FLAIR magnetic resonance.
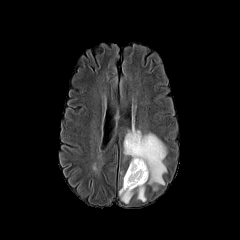
T1-weighted MR.
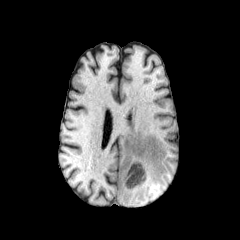
Post-contrast T1-weighted magnetic resonance.
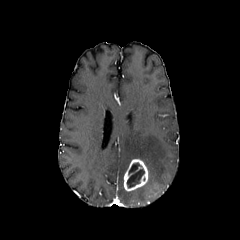
T2-weighted magnetic resonance.
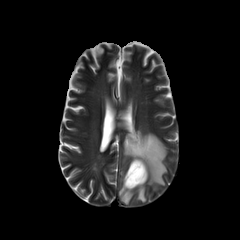
Axial plane.
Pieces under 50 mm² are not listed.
enhancing tumor: 123 159 148 191
peritumoral edema: 119 185 146 203, 123 125 167 185
necrotic tumor core: 127 163 144 187